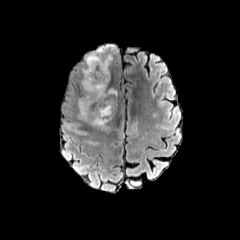
FLAIR MR image.
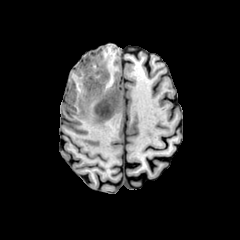
T1-weighted MRI of the same slice.
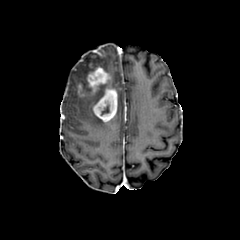
Same slice, post-contrast T1-weighted MR.
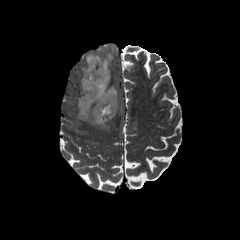
T2-weighted magnetic resonance.
Head | Image size 240x240
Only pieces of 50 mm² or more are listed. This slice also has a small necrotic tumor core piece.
<segmentation>
  <enhancing_tumor>(x1=93, y1=87, x2=117, y2=121), (x1=87, y1=67, x2=110, y2=94)</enhancing_tumor>
  <peritumoral_edema>(x1=91, y1=114, x2=106, y2=126), (x1=78, y1=48, x2=112, y2=120)</peritumoral_edema>
</segmentation>